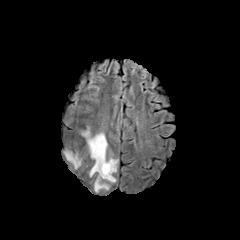
FLAIR magnetic resonance.
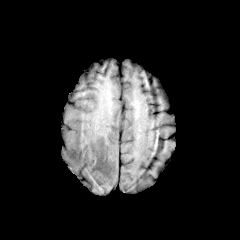
Same slice, T1-weighted MRI.
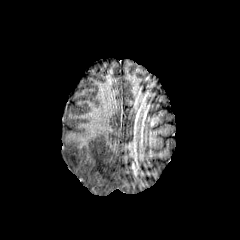
Post-contrast T1-weighted magnetic resonance.
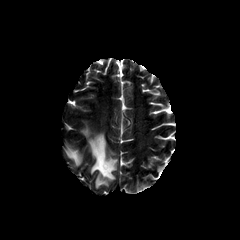
Same slice, T2-weighted MRI.
Axial slice, Head
Annotated regions:
* peritumoral edema: [64,150,81,168], [82,127,117,191]